FLAIR magnetic resonance.
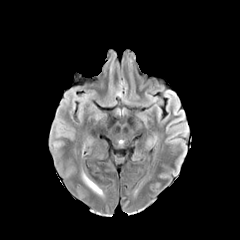
T1-weighted MRI.
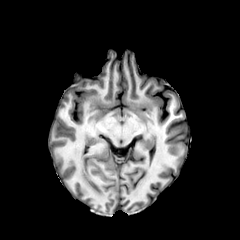
Post-contrast T1-weighted magnetic resonance.
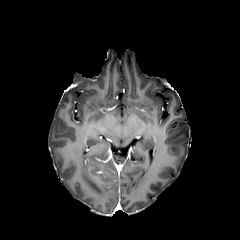
T2-weighted magnetic resonance.
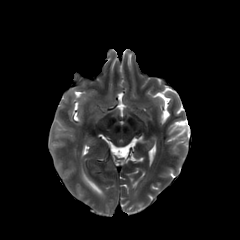
Axial plane.
{
  "peritumoral_edema": [
    "box=[82, 171, 103, 195]"
  ]
}